240x240 px, Slice 41/155, Image covers 240 mm x 240 mm
FLAIR MR.
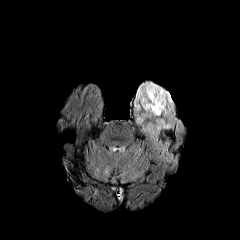
T1-weighted MR.
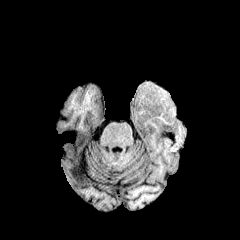
Post-contrast T1-weighted magnetic resonance.
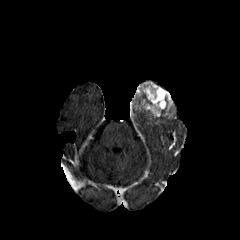
T2-weighted MR.
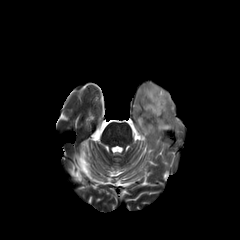
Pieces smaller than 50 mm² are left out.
• peritumoral edema: [x1=135, y1=110, x2=179, y2=143]
• enhancing tumor: [x1=134, y1=81, x2=174, y2=118]